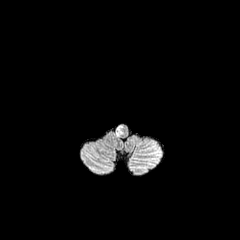
FLAIR MR image.
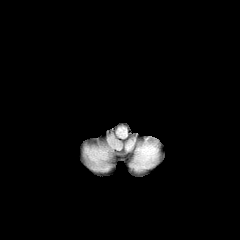
T1-weighted MRI.
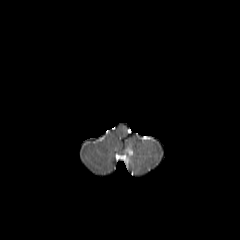
Post-contrast T1-weighted magnetic resonance.
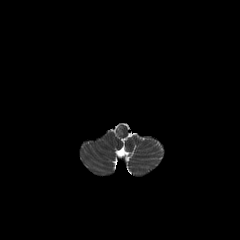
Same slice, T2-weighted MRI.
Axial view, Image size 240x240
• peritumoral edema: (left=115, top=125, right=123, bottom=136)